Axial view; 240x240; Slice 136 of 155; Brain
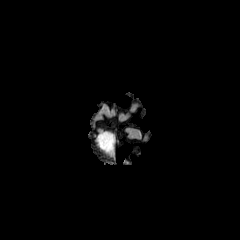
FLAIR MRI.
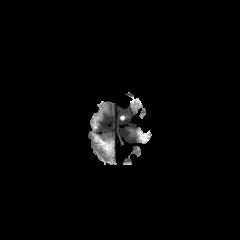
T1-weighted MRI.
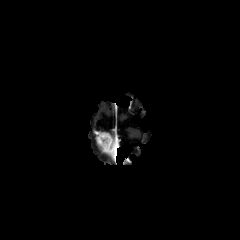
Post-contrast T1-weighted magnetic resonance.
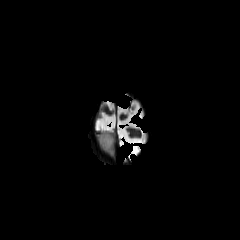
Same slice, T2-weighted magnetic resonance.
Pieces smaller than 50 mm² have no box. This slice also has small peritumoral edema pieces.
The enhancing tumor lies within bbox=[97, 133, 113, 153].